FLAIR MRI.
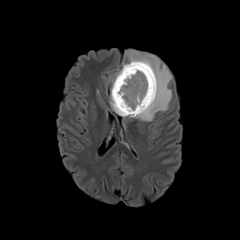
T1-weighted MR.
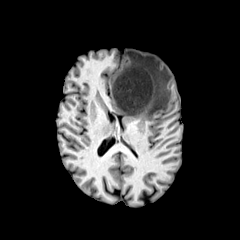
Post-contrast T1-weighted magnetic resonance.
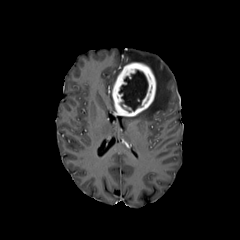
T2-weighted MR image.
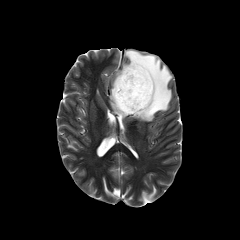
Axial view
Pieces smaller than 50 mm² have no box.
<segmentation>
  <enhancing_tumor>112:62:156:116</enhancing_tumor>
  <necrotic_tumor_core>119:70:148:110</necrotic_tumor_core>
  <peritumoral_edema>109:70:121:111, 125:50:172:121</peritumoral_edema>
</segmentation>